Head. Axial slice.
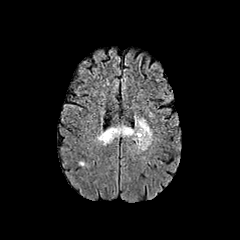
FLAIR MR image.
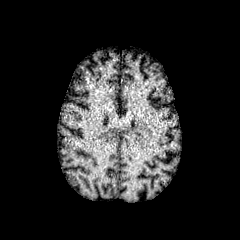
Same slice, T1-weighted MR image.
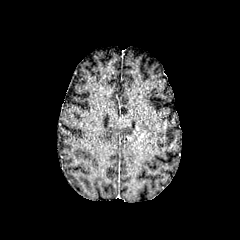
Post-contrast T1-weighted MR image of the same slice.
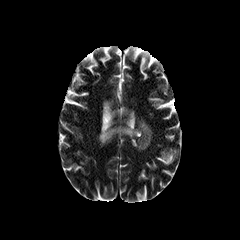
T2-weighted MR.
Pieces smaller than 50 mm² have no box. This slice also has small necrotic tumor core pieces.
The peritumoral edema is at (97,118,152,151). The enhancing tumor is at (134,127,147,141).